Axial plane; Image width 240 mm, 1.00 mm slice spacing; Slice index 111; Brain
FLAIR magnetic resonance.
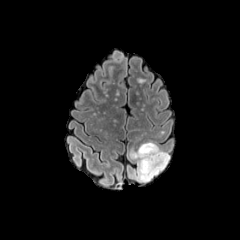
T1-weighted MRI.
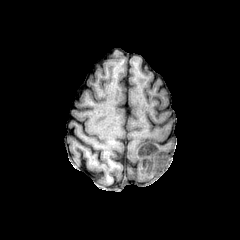
Post-contrast T1-weighted MR.
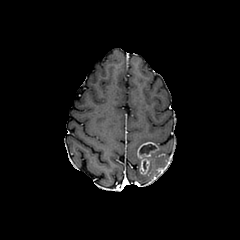
T2-weighted MRI.
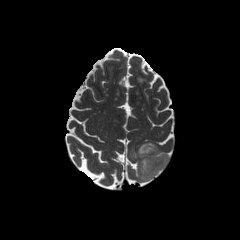
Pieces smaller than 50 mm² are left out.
necrotic tumor core — [139, 144, 156, 154]
peritumoral edema — [129, 147, 169, 181]
enhancing tumor — [137, 142, 158, 174]